FLAIR MRI.
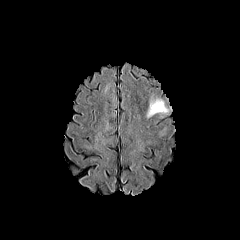
T1-weighted MRI.
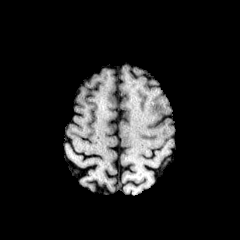
Post-contrast T1-weighted MRI.
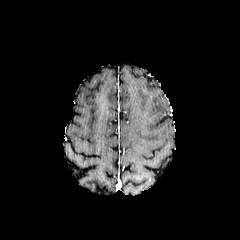
T2-weighted MR image.
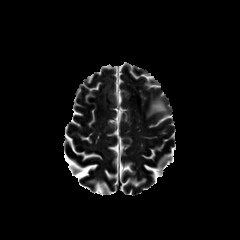
Axial plane
peritumoral edema at region(147, 96, 168, 117)